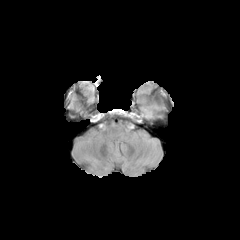
FLAIR magnetic resonance.
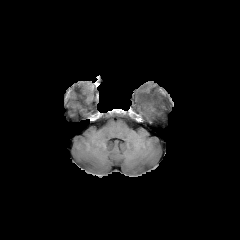
T1-weighted magnetic resonance.
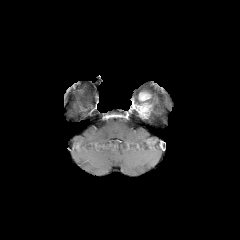
Post-contrast T1-weighted MR image of the same slice.
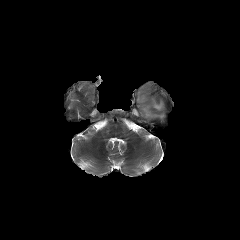
T2-weighted MRI.
Axial view.
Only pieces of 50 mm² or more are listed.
enhancing tumor = 135 92 152 118
peritumoral edema = 147 104 162 118